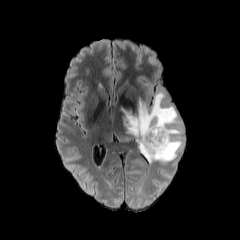
FLAIR magnetic resonance.
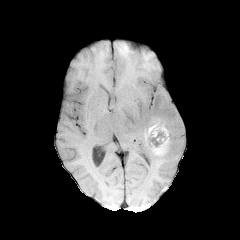
Same slice, T1-weighted magnetic resonance.
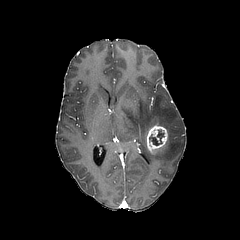
Post-contrast T1-weighted MR image.
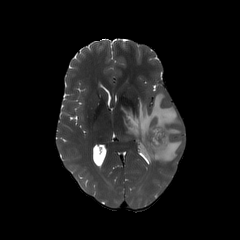
T2-weighted magnetic resonance of the same slice.
peritumoral_edema:
  - {"x1": 124, "y1": 92, "x2": 184, "y2": 162}
necrotic_tumor_core:
  - {"x1": 149, "y1": 129, "x2": 163, "y2": 145}
enhancing_tumor:
  - {"x1": 146, "y1": 125, "x2": 168, "y2": 152}